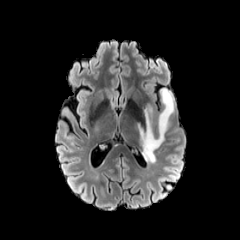
FLAIR MR.
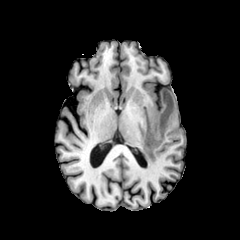
T1-weighted MR of the same slice.
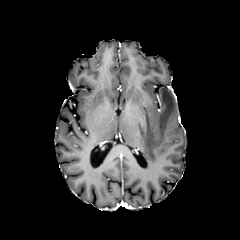
Post-contrast T1-weighted magnetic resonance.
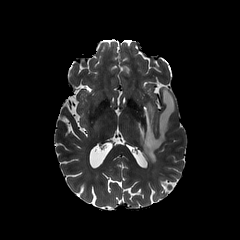
T2-weighted MRI.
Brain; 240x240
<segmentation>
  <peritumoral_edema>x1=136 y1=88 x2=174 y2=164</peritumoral_edema>
</segmentation>